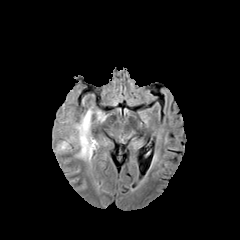
FLAIR MR.
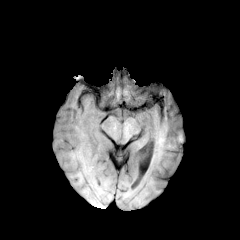
T1-weighted MR.
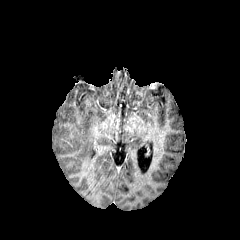
Post-contrast T1-weighted MRI.
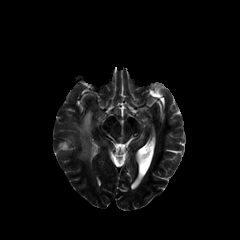
T2-weighted MR image.
Head. 240x240 px.
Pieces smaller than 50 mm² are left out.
The 2 largest peritumoral edema regions appear at 75 110 97 160, 58 136 76 150.